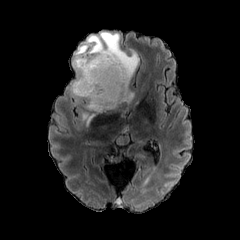
FLAIR MR image.
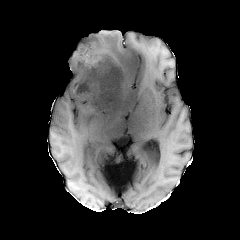
T1-weighted magnetic resonance.
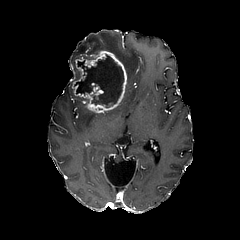
Post-contrast T1-weighted MR image.
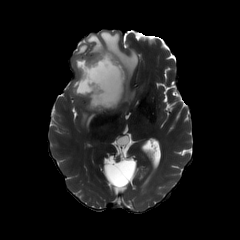
Same slice, T2-weighted magnetic resonance.
Head
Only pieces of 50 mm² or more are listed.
- peritumoral edema: bbox(72, 31, 138, 103); bbox(82, 112, 97, 126)
- necrotic tumor core: bbox(76, 54, 123, 107)
- enhancing tumor: bbox(72, 50, 127, 113)